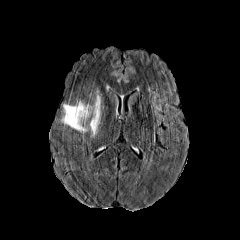
FLAIR MR image.
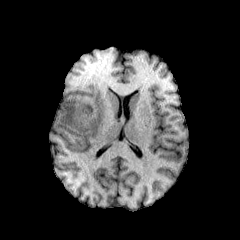
T1-weighted MR.
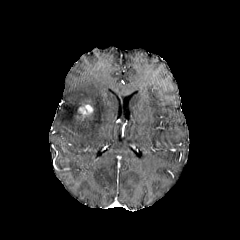
Post-contrast T1-weighted MR image of the same slice.
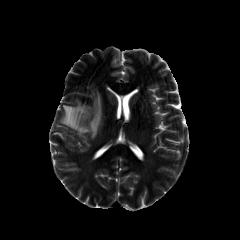
Same slice, T2-weighted MR.
240x240 px, Head
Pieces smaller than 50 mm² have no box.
Findings:
- enhancing tumor: {"x1": 76, "y1": 104, "x2": 93, "y2": 120}
- peritumoral edema: {"x1": 61, "y1": 101, "x2": 88, "y2": 132}, {"x1": 89, "y1": 91, "x2": 100, "y2": 137}